Slice 72/155. Axial slice. Image covers 240 mm x 240 mm. 240x240. Brain.
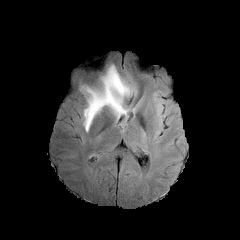
FLAIR MR.
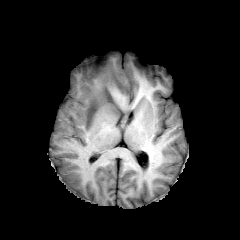
T1-weighted MR.
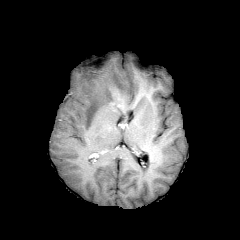
Post-contrast T1-weighted MR of the same slice.
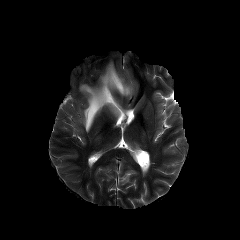
Same slice, T2-weighted MR.
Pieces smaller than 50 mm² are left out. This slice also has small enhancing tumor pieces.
The peritumoral edema is located at bbox=[80, 65, 133, 131].